Brain, 240x240 px, Slice 81/155, Image covers 240 mm x 240 mm
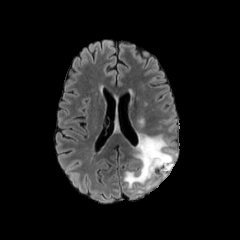
FLAIR MR.
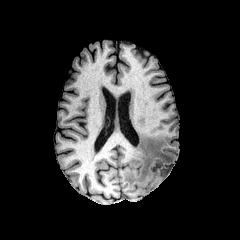
T1-weighted MR image.
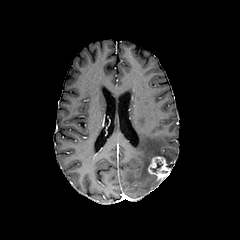
Post-contrast T1-weighted MR.
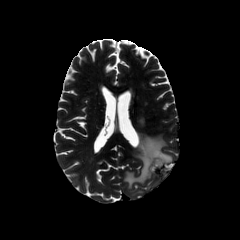
T2-weighted MRI of the same slice.
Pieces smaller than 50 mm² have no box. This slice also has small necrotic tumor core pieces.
The enhancing tumor appears at (x1=148, y1=156, x2=171, y2=181). The largest peritumoral edema region is at (x1=123, y1=133, x2=176, y2=189).